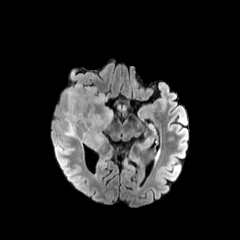
FLAIR magnetic resonance.
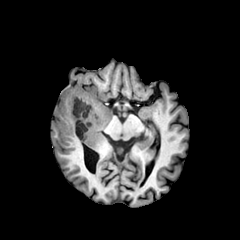
Same slice, T1-weighted MR image.
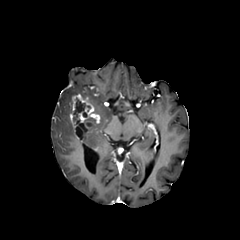
Post-contrast T1-weighted MRI.
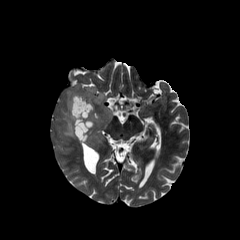
T2-weighted MR.
240x240 px. Axial slice.
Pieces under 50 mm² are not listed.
necrotic_tumor_core:
  - {"x1": 76, "y1": 121, "x2": 87, "y2": 138}
  - {"x1": 74, "y1": 102, "x2": 83, "y2": 113}
enhancing_tumor:
  - {"x1": 69, "y1": 94, "x2": 100, "y2": 140}
peritumoral_edema:
  - {"x1": 79, "y1": 88, "x2": 112, "y2": 147}
  - {"x1": 63, "y1": 88, "x2": 80, "y2": 138}